FLAIR MRI.
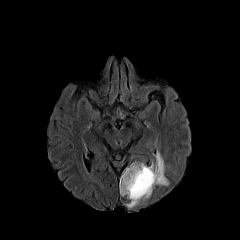
T1-weighted MR.
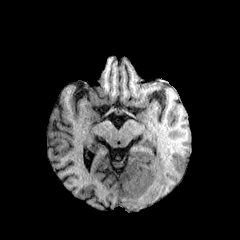
Post-contrast T1-weighted MR image.
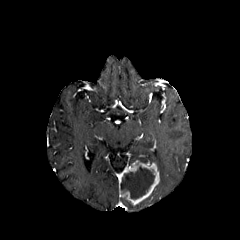
T2-weighted MR image.
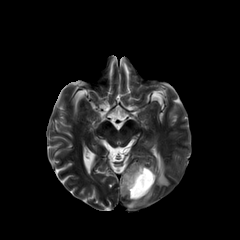
Axial slice
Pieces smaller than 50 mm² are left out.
{"peritumoral_edema": ["<bbox>154, 150, 169, 186</bbox>", "<bbox>126, 196, 150, 208</bbox>"], "enhancing_tumor": ["<bbox>119, 160, 159, 205</bbox>"], "necrotic_tumor_core": ["<bbox>121, 166, 154, 198</bbox>"]}